FLAIR magnetic resonance.
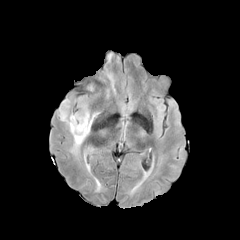
T1-weighted MRI.
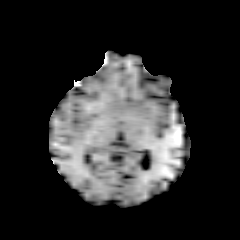
Post-contrast T1-weighted MR image.
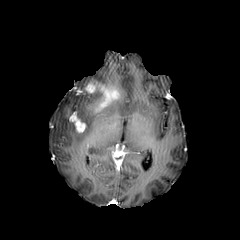
T2-weighted magnetic resonance.
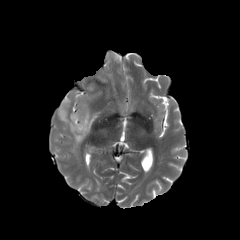
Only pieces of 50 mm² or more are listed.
Segmented structures:
- enhancing tumor: 69, 111, 86, 133; 84, 81, 118, 112
- peritumoral edema: 58, 99, 96, 153